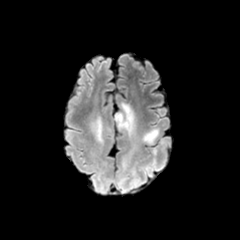
FLAIR magnetic resonance.
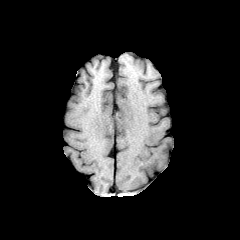
Same slice, T1-weighted MRI.
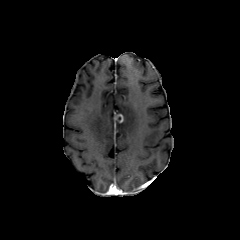
Same slice, post-contrast T1-weighted MR.
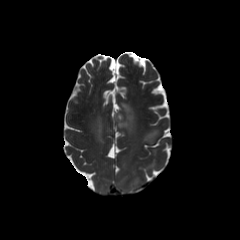
T2-weighted MR.
Head.
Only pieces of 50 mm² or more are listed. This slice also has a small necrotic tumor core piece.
<segmentation>
  <enhancing_tumor>(114, 114, 123, 122)</enhancing_tumor>
  <peritumoral_edema>(143, 129, 158, 143), (92, 117, 103, 142), (117, 102, 135, 135)</peritumoral_edema>
</segmentation>